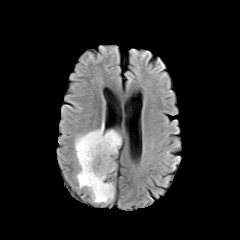
FLAIR MR.
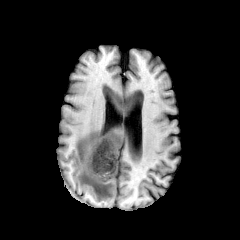
T1-weighted MRI.
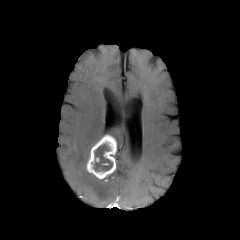
Post-contrast T1-weighted magnetic resonance.
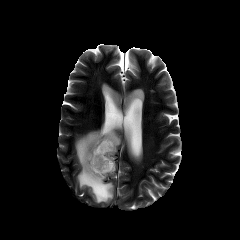
T2-weighted MR.
Image size 240x240
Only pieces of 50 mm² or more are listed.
The largest peritumoral edema region appears at box=[74, 122, 121, 203]. The necrotic tumor core lies within box=[92, 140, 112, 174]. The largest enhancing tumor region is bounded by box=[86, 134, 116, 179].